Slice index 91, Axial plane, 240x240 px
FLAIR magnetic resonance.
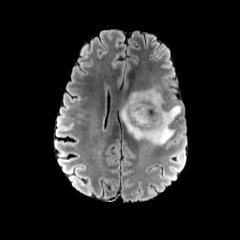
T1-weighted MR image.
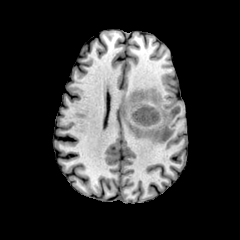
Post-contrast T1-weighted magnetic resonance.
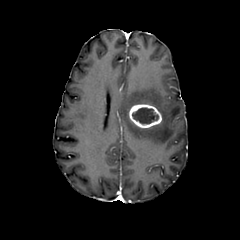
T2-weighted MRI.
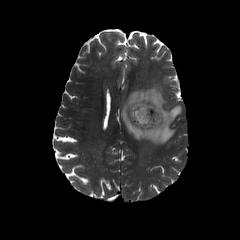
peritumoral edema = (x1=120, y1=86, x2=181, y2=144)
enhancing tumor = (x1=129, y1=104, x2=162, y2=128)
necrotic tumor core = (x1=132, y1=107, x2=158, y2=123)